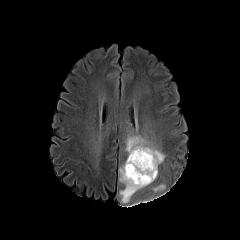
FLAIR MR.
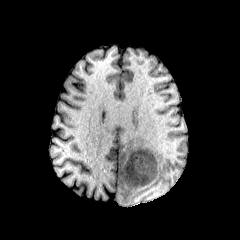
T1-weighted MR.
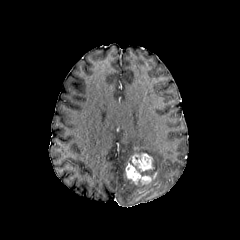
Post-contrast T1-weighted MR image.
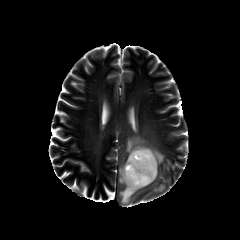
T2-weighted MR of the same slice.
Axial plane | 240x240
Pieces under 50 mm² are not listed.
Findings:
- enhancing tumor: bbox(124, 152, 157, 185)
- peritumoral edema: bbox(153, 184, 165, 191); bbox(119, 135, 164, 204)
- necrotic tumor core: bbox(140, 169, 155, 175)